Axial plane. Slice 85/155.
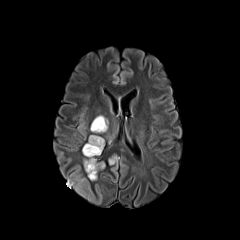
FLAIR magnetic resonance.
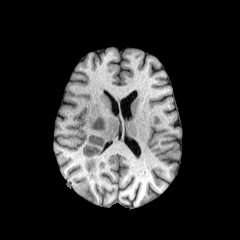
T1-weighted MR.
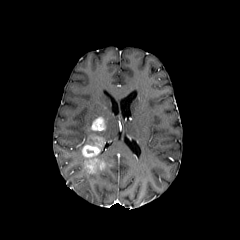
Post-contrast T1-weighted MRI.
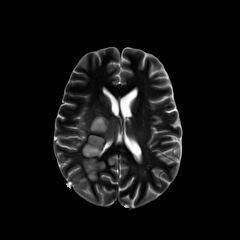
T2-weighted magnetic resonance of the same slice.
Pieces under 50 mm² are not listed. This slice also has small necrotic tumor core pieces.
enhancing tumor at box=[82, 135, 105, 173]; box=[91, 117, 105, 131]
peritumoral edema at box=[90, 115, 108, 132]; box=[83, 158, 99, 180]; box=[109, 155, 117, 164]